Image width 240 mm; Slice 53 of 155; 240x240
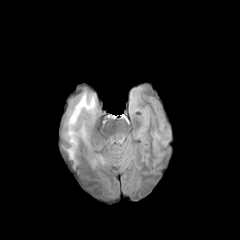
FLAIR MR image.
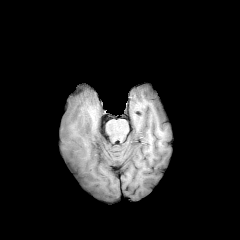
T1-weighted MRI of the same slice.
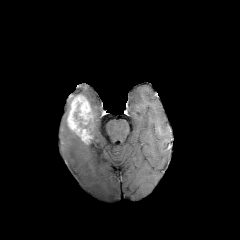
Post-contrast T1-weighted MR image.
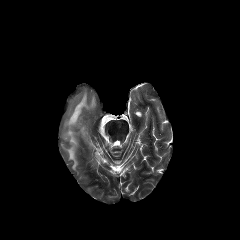
T2-weighted MRI of the same slice.
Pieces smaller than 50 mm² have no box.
enhancing tumor — [68,95,90,141]
peritumoral edema — [63,100,80,167], [75,91,96,128]